Slice index 91. Brain.
FLAIR MR image.
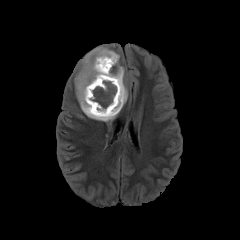
T1-weighted magnetic resonance.
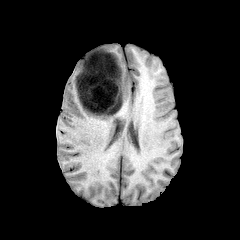
Post-contrast T1-weighted MR.
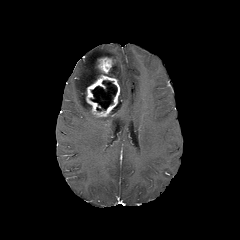
T2-weighted MRI.
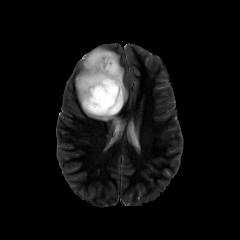
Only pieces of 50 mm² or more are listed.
<segmentation>
  <enhancing_tumor>[85, 57, 120, 117]</enhancing_tumor>
  <peritumoral_edema>[74, 46, 128, 122]</peritumoral_edema>
  <necrotic_tumor_core>[90, 80, 117, 111], [110, 96, 121, 115]</necrotic_tumor_core>
</segmentation>